FLAIR MRI.
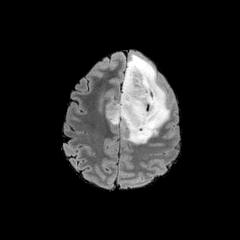
T1-weighted MR.
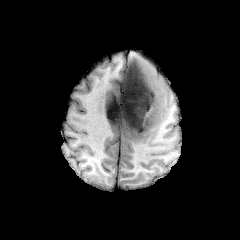
Post-contrast T1-weighted magnetic resonance.
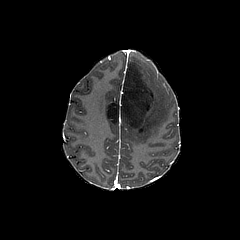
T2-weighted MR.
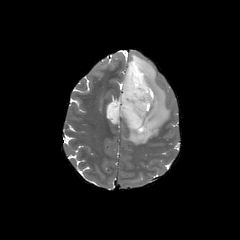
Image size 240x240. Axial view. Brain.
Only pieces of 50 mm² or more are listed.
Findings:
• peritumoral edema: <bbox>121, 54, 169, 143</bbox>
• necrotic tumor core: <bbox>107, 62, 153, 135</bbox>